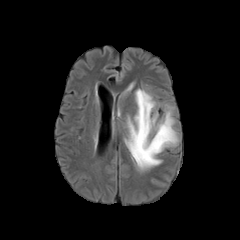
FLAIR MRI.
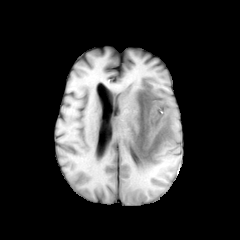
T1-weighted MR.
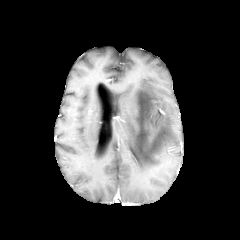
Same slice, post-contrast T1-weighted MR.
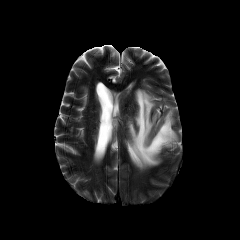
T2-weighted magnetic resonance.
240x240 | Brain
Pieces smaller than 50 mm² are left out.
The largest peritumoral edema region is at (124,89,178,171).